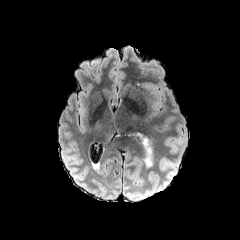
FLAIR MR.
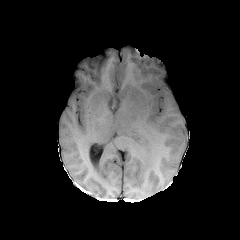
T1-weighted MRI.
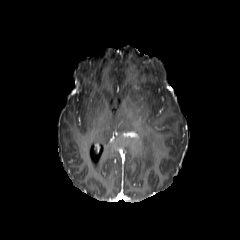
Post-contrast T1-weighted MR.
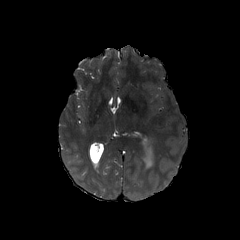
T2-weighted MR image.
Axial slice | Image size 240x240 | Brain
The peritumoral edema is at {"x1": 132, "y1": 132, "x2": 153, "y2": 169}.